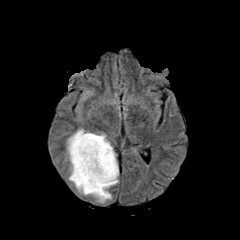
FLAIR magnetic resonance.
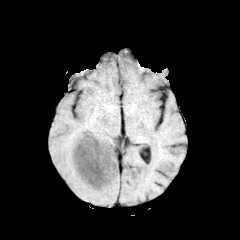
T1-weighted MR of the same slice.
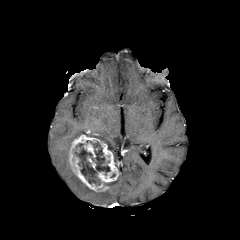
Post-contrast T1-weighted magnetic resonance.
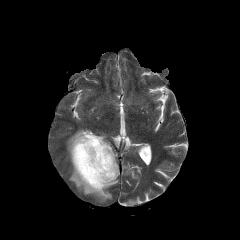
T2-weighted MR.
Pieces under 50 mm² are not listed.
peritumoral edema: (69,165,111,202), (67,129,86,158), (90,132,118,169)
enhancing tumor: (69,132,118,191)
necrotic tumor core: (74,141,110,185)